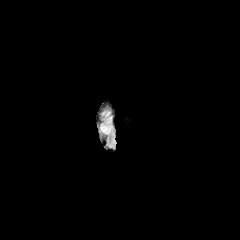
FLAIR MR image.
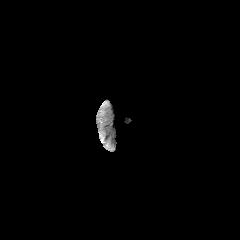
T1-weighted magnetic resonance of the same slice.
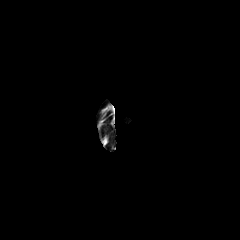
Post-contrast T1-weighted MR.
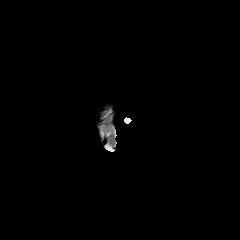
T2-weighted MRI.
Brain, Axial plane
The peritumoral edema lies within x1=101 y1=118 x2=110 y2=132.